FLAIR MR image.
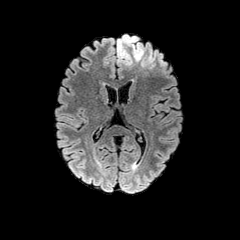
T1-weighted MRI.
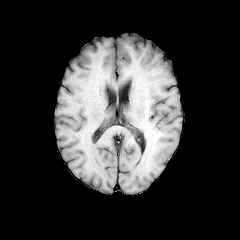
Post-contrast T1-weighted magnetic resonance.
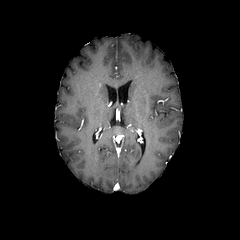
T2-weighted MR.
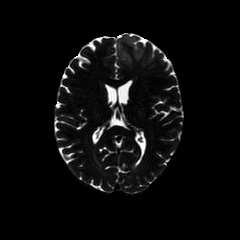
peritumoral edema: [117,35,144,65]